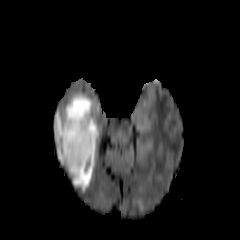
FLAIR magnetic resonance.
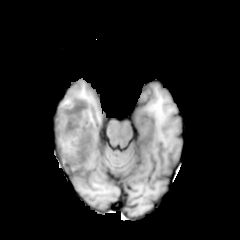
Same slice, T1-weighted magnetic resonance.
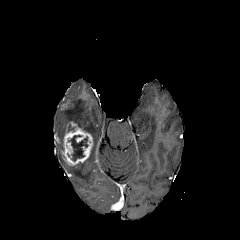
Post-contrast T1-weighted MRI.
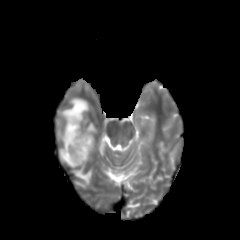
Same slice, T2-weighted MR.
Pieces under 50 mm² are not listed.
Segmented structures:
- peritumoral edema: 53 94 98 191
- necrotic tumor core: 69 134 88 160
- enhancing tumor: 61 121 92 166